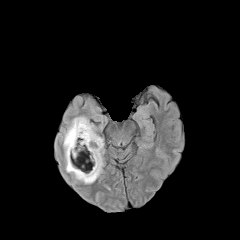
FLAIR MR image.
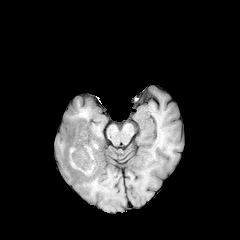
T1-weighted MR.
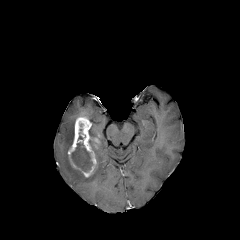
Post-contrast T1-weighted magnetic resonance of the same slice.
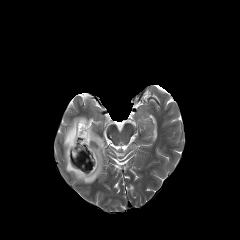
T2-weighted MRI.
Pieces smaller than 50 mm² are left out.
<segmentation>
  <peritumoral_edema>(left=89, top=123, right=97, bottom=137), (left=63, top=117, right=104, bottom=183)</peritumoral_edema>
  <enhancing_tumor>(left=68, top=117, right=100, bottom=177)</enhancing_tumor>
  <necrotic_tumor_core>(left=71, top=143, right=92, bottom=171)</necrotic_tumor_core>
</segmentation>